Head. Axial view.
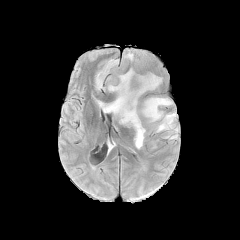
FLAIR MRI.
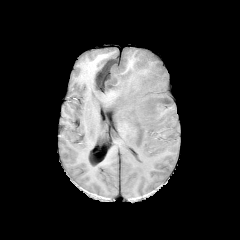
Same slice, T1-weighted MR image.
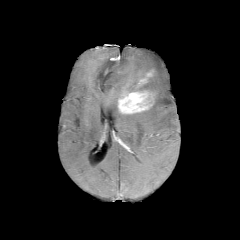
Same slice, post-contrast T1-weighted magnetic resonance.
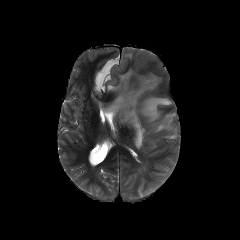
T2-weighted MR of the same slice.
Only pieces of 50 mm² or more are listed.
The largest enhancing tumor region appears at (118,90,154,113). The largest peritumoral edema region is bounded by (95,47,178,149).